Head; Axial plane; Slice 60/155
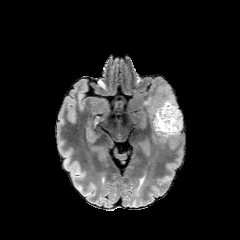
FLAIR MR.
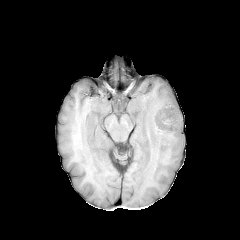
T1-weighted magnetic resonance.
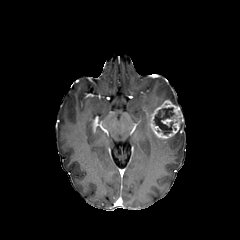
Post-contrast T1-weighted MRI.
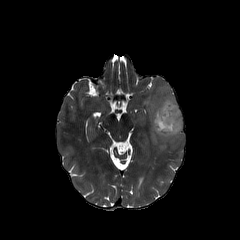
T2-weighted magnetic resonance.
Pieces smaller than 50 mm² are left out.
peritumoral edema: (152,122,182,148), (144,86,177,119)
enhancing tumor: (149,100,182,139)
necrotic tumor core: (154,107,174,134)